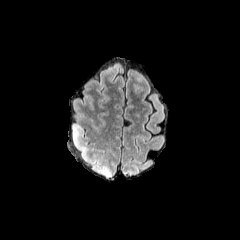
FLAIR MRI.
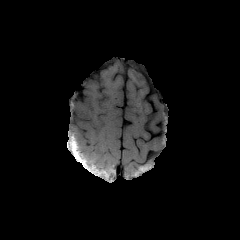
T1-weighted MRI of the same slice.
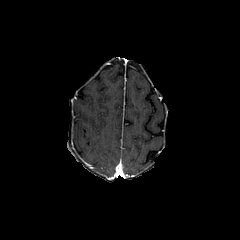
Post-contrast T1-weighted magnetic resonance.
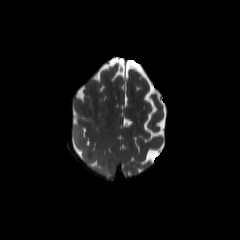
T2-weighted MR.
Brain. Image size 240x240.
peritumoral edema at region(100, 165, 111, 177); region(72, 124, 90, 161)